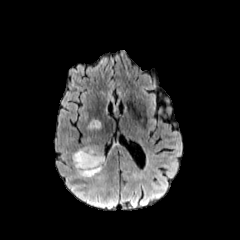
FLAIR magnetic resonance.
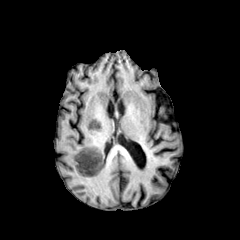
T1-weighted magnetic resonance of the same slice.
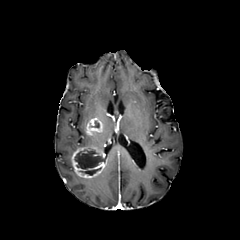
Post-contrast T1-weighted magnetic resonance of the same slice.
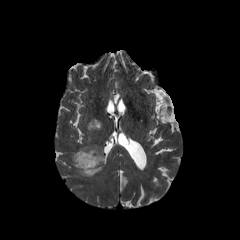
T2-weighted MR image.
Head
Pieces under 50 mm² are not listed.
enhancing tumor: 85:118:102:135, 71:146:106:178 | necrotic tumor core: 75:150:104:168, 80:168:100:175 | peritumoral edema: 75:170:106:183